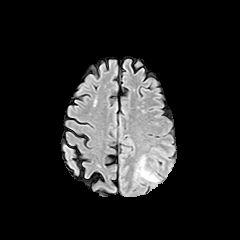
FLAIR MR image.
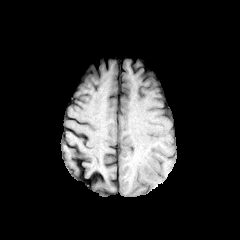
T1-weighted magnetic resonance.
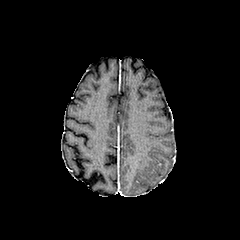
Same slice, post-contrast T1-weighted MR.
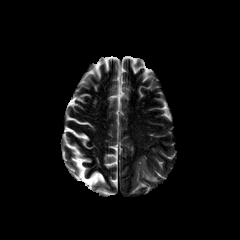
T2-weighted MRI.
240x240.
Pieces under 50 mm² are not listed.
peritumoral edema — l=141, t=168, r=157, b=181